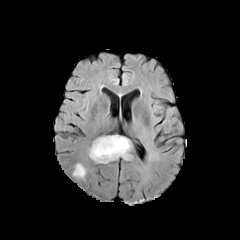
FLAIR MR.
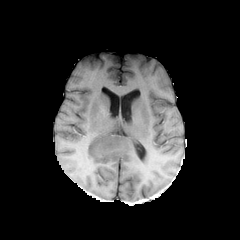
T1-weighted MRI of the same slice.
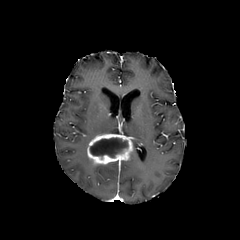
Post-contrast T1-weighted MRI.
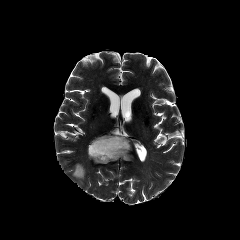
T2-weighted MR.
Axial view, Image size 240x240
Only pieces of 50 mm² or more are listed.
enhancing_tumor:
  - 87, 134, 132, 164
peritumoral_edema:
  - 73, 163, 85, 179
necrotic_tumor_core:
  - 90, 138, 127, 157